Axial plane, Slice index 111, Brain, Image width 240 mm, 1.00 mm slice spacing
FLAIR MR.
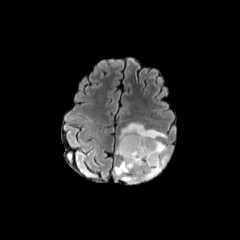
T1-weighted MRI.
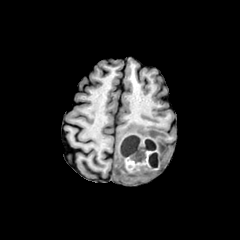
Post-contrast T1-weighted MR image.
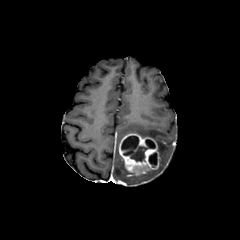
T2-weighted MR image.
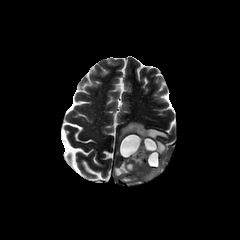
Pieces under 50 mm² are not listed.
<segmentation>
  <peritumoral_edema><box>114,122,169,182</box></peritumoral_edema>
  <enhancing_tumor><box>119,133,159,175</box></enhancing_tumor>
  <necrotic_tumor_core><box>121,136,155,161</box>, <box>148,152,157,166</box></necrotic_tumor_core>
</segmentation>